Slice index 105
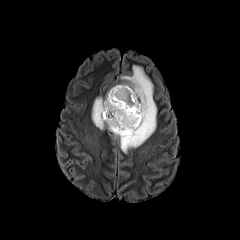
FLAIR MRI.
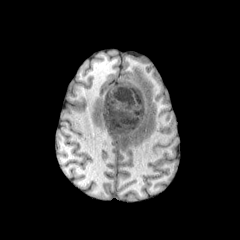
T1-weighted MRI.
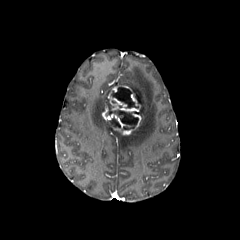
Post-contrast T1-weighted magnetic resonance.
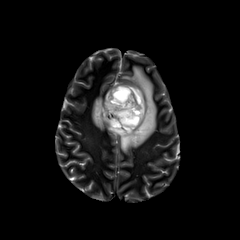
T2-weighted MR.
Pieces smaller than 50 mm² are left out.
2 enhancing tumor regions are located at [x1=107, y1=84, x2=140, y2=111], [x1=102, y1=103, x2=141, y2=134]. The largest peritumoral edema region is located at [x1=92, y1=65, x2=156, y2=152]. The 3 largest necrotic tumor core regions appear at [x1=111, y1=87, x2=140, y2=108], [x1=106, y1=99, x2=139, y2=129], [x1=109, y1=118, x2=120, y2=127].